240x240 px | Slice index 78 | Brain
FLAIR magnetic resonance.
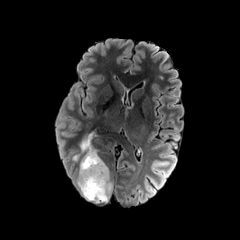
T1-weighted MR.
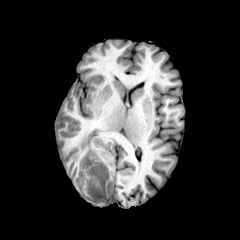
Post-contrast T1-weighted MR.
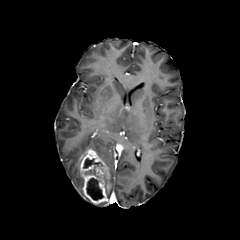
T2-weighted MRI.
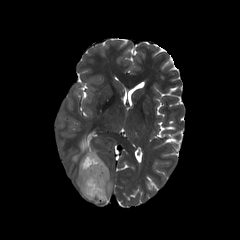
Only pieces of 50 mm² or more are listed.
peritumoral edema — x1=73 y1=133 x2=99 y2=161, x1=77 y1=163 x2=83 y2=195
necrotic tumor core — x1=86 y1=178 x2=103 y2=200, x1=83 y1=158 x2=102 y2=168
enhancing tumor — x1=80 y1=149 x2=110 y2=203